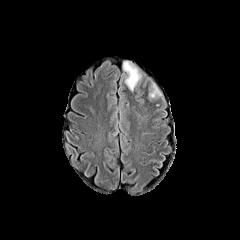
FLAIR MRI.
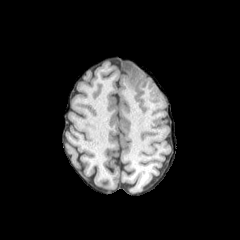
T1-weighted magnetic resonance of the same slice.
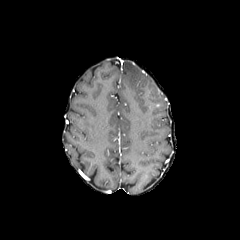
Post-contrast T1-weighted MR.
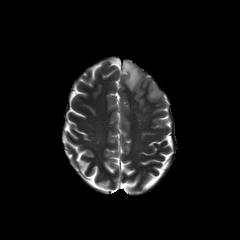
T2-weighted MR of the same slice.
Image size 240x240. Axial plane.
peritumoral edema: 123:61:141:91, 149:85:160:97